FLAIR MRI.
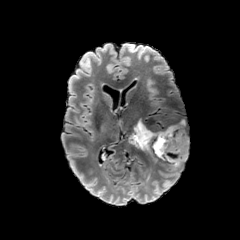
T1-weighted MRI.
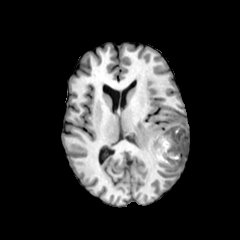
Post-contrast T1-weighted MR.
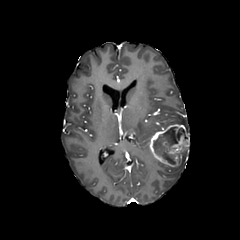
T2-weighted MR.
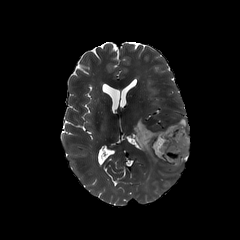
Axial plane.
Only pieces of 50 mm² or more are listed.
The 2 largest peritumoral edema regions are located at 175:119:186:129, 128:119:155:154. The largest necrotic tumor core region is bounded by 153:127:184:164. The enhancing tumor lies within 149:124:189:167.